FLAIR MRI.
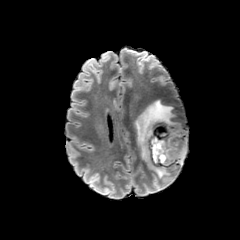
T1-weighted magnetic resonance.
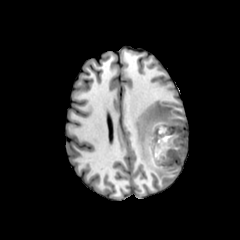
Post-contrast T1-weighted magnetic resonance.
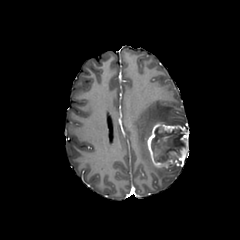
T2-weighted MR image.
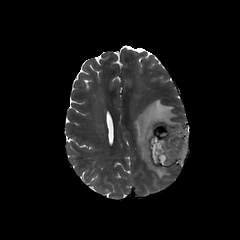
Brain. Image size 240x240. Axial view.
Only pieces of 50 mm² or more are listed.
enhancing tumor = x1=147, y1=123, x2=188, y2=168
peritumoral edema = x1=135, y1=98, x2=184, y2=177
necrotic tumor core = x1=151, y1=127, x2=185, y2=165